FLAIR MR image.
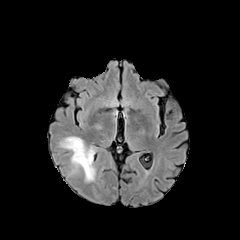
T1-weighted MR image.
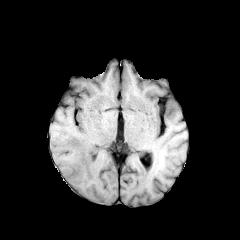
Post-contrast T1-weighted MRI.
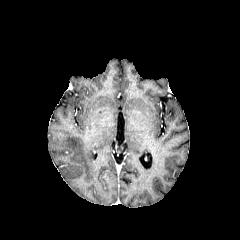
T2-weighted MR.
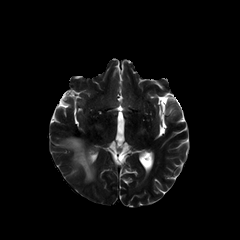
Brain, Axial plane
The peritumoral edema is bounded by x1=60, y1=137, x2=94, y2=181.